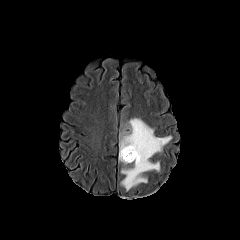
FLAIR MR image.
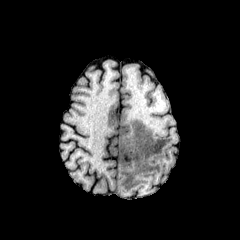
T1-weighted MR.
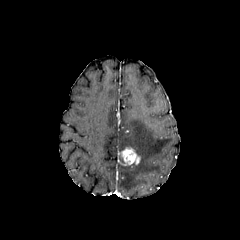
Post-contrast T1-weighted magnetic resonance.
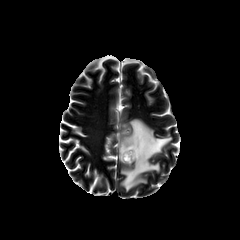
T2-weighted MR image of the same slice.
Axial view. Image size 240x240.
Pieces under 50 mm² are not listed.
enhancing tumor = 119 147 140 165
peritumoral edema = 119 118 171 191